Head
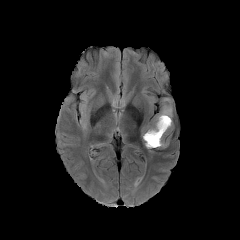
FLAIR MR.
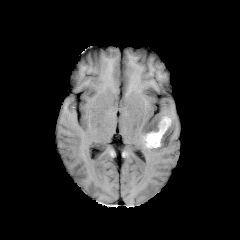
T1-weighted magnetic resonance.
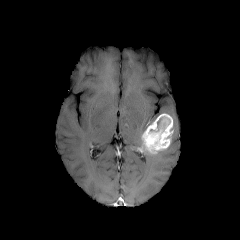
Post-contrast T1-weighted MR image.
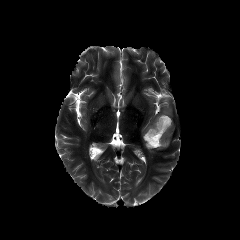
Same slice, T2-weighted magnetic resonance.
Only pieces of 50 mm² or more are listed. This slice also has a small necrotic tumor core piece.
enhancing_tumor:
  - (left=142, top=113, right=173, bottom=153)
peritumoral_edema:
  - (left=161, top=105, right=172, bottom=116)